Image covers 240 mm x 240 mm, Axial view, Image size 240x240
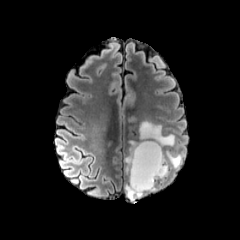
FLAIR MR image.
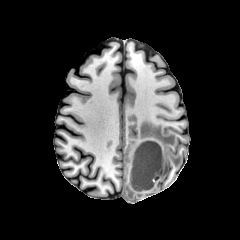
T1-weighted MRI.
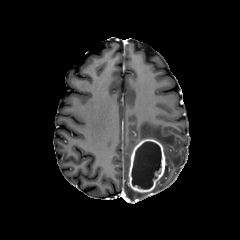
Post-contrast T1-weighted MR.
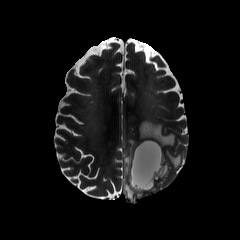
T2-weighted MR.
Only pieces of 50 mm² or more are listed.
{
  "necrotic_tumor_core": [
    "(left=131, top=141, right=161, bottom=189)"
  ],
  "enhancing_tumor": [
    "(left=128, top=138, right=165, bottom=194)"
  ],
  "peritumoral_edema": [
    "(left=124, top=177, right=147, bottom=200)",
    "(left=125, top=121, right=182, bottom=180)"
  ]
}